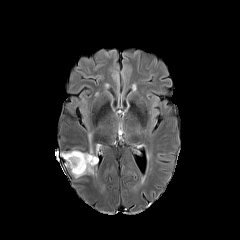
FLAIR MR image.
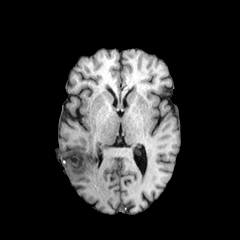
T1-weighted MR.
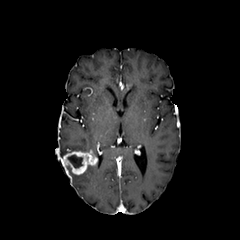
Post-contrast T1-weighted magnetic resonance.
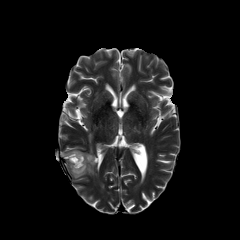
T2-weighted MR.
Head.
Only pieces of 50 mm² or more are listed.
The necrotic tumor core lies within left=67, top=155, right=82, bottom=168. The enhancing tumor is bounded by left=63, top=150, right=97, bottom=174. The largest peritumoral edema region appears at left=82, top=165, right=94, bottom=174.